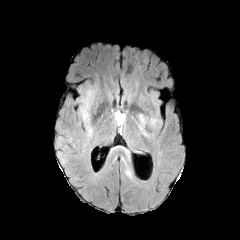
FLAIR MR image.
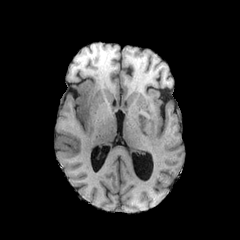
T1-weighted MR image.
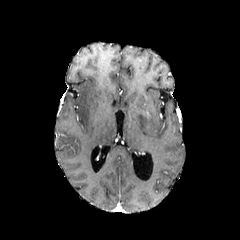
Post-contrast T1-weighted magnetic resonance.
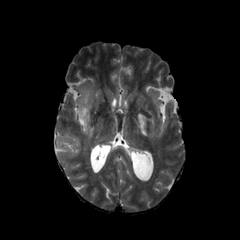
Same slice, T2-weighted MR image.
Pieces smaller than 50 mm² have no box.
{
  "peritumoral_edema": [
    "[56, 130, 74, 149]",
    "[139, 115, 158, 137]",
    "[78, 90, 93, 137]",
    "[58, 151, 64, 162]"
  ]
}